Head. 240x240 px. Axial slice. Image covers 240 mm x 240 mm.
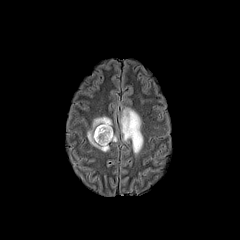
FLAIR MR.
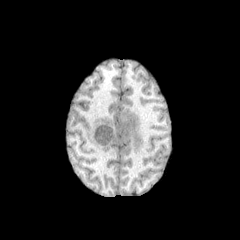
T1-weighted MR.
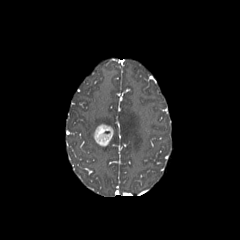
Post-contrast T1-weighted MR image.
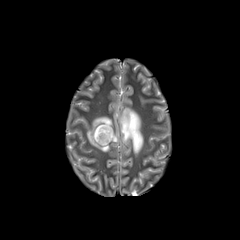
T2-weighted MR image.
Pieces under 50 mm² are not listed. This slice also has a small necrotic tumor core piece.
peritumoral edema: l=87, t=116, r=112, b=151; l=119, t=108, r=143, b=154
enhancing tumor: l=93, t=124, r=113, b=146